240x240. Axial view. Head. Slice 94/155.
FLAIR MR.
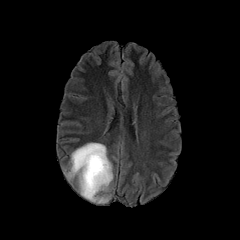
T1-weighted MR image.
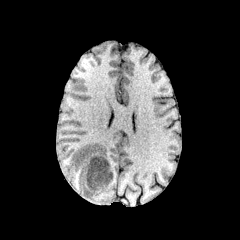
Post-contrast T1-weighted magnetic resonance.
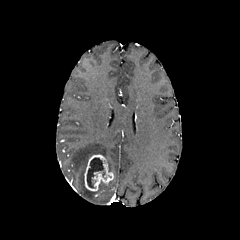
T2-weighted MR.
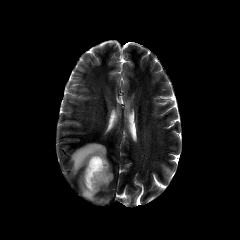
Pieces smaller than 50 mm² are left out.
necrotic tumor core: (x1=87, y1=158, x2=103, y2=188) | peritumoral edema: (x1=67, y1=143, x2=113, y2=203) | enhancing tumor: (x1=84, y1=154, x2=112, y2=191)